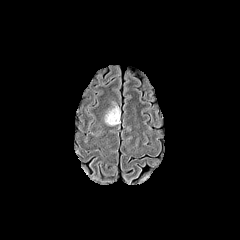
FLAIR MRI.
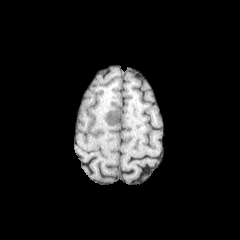
T1-weighted MR image of the same slice.
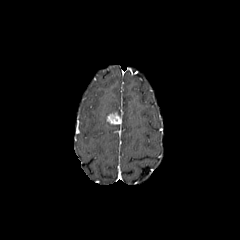
Post-contrast T1-weighted MRI.
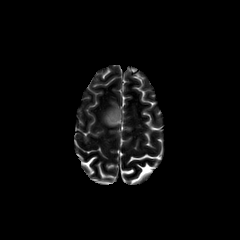
T2-weighted MR image.
* peritumoral edema: [x1=105, y1=105, x2=120, y2=124]
* enhancing tumor: [x1=106, y1=112, x2=120, y2=124]